Image size 240x240
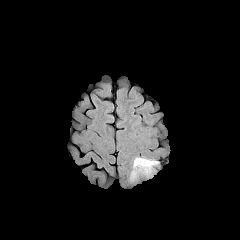
FLAIR MR.
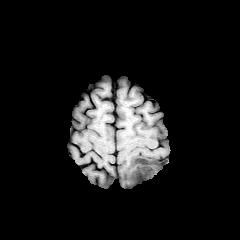
T1-weighted MR of the same slice.
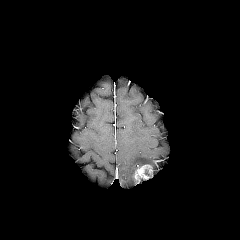
Post-contrast T1-weighted magnetic resonance.
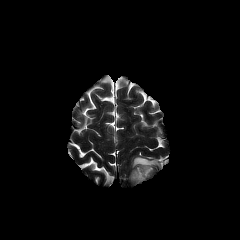
T2-weighted magnetic resonance of the same slice.
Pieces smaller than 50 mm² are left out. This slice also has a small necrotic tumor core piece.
Annotated regions:
* peritumoral edema: 130 157 157 180
* enhancing tumor: 133 164 152 182